Brain, Slice 108 of 155
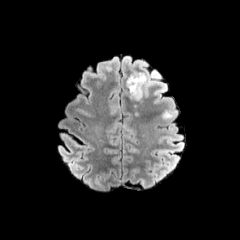
FLAIR MR image.
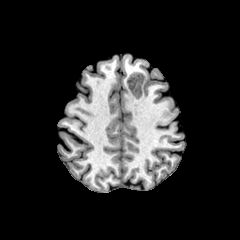
Same slice, T1-weighted magnetic resonance.
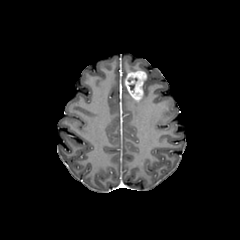
Post-contrast T1-weighted MR.
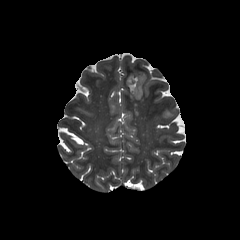
T2-weighted MR image.
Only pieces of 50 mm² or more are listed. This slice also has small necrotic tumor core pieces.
Findings:
• peritumoral edema: [143,73,153,95]
• enhancing tumor: [125,71,146,100]